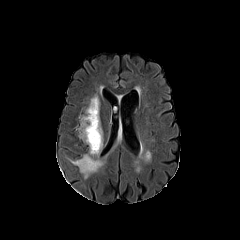
FLAIR MRI.
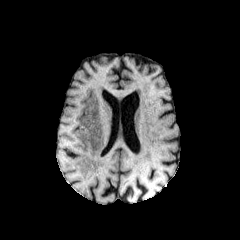
Same slice, T1-weighted MR.
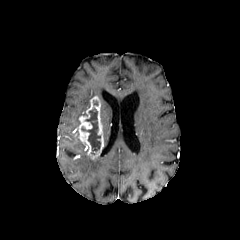
Post-contrast T1-weighted magnetic resonance of the same slice.
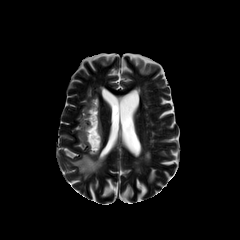
T2-weighted magnetic resonance of the same slice.
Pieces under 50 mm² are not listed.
The peritumoral edema is bounded by 69 154 104 179. The largest necrotic tumor core region is bounded by 81 108 100 154. The largest enhancing tumor region appears at 76 96 103 159.